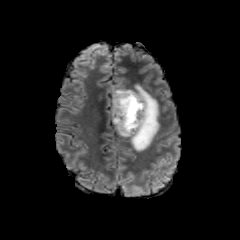
FLAIR MRI.
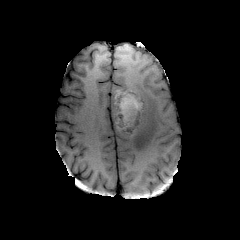
T1-weighted MR.
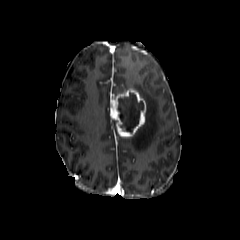
Post-contrast T1-weighted MR image.
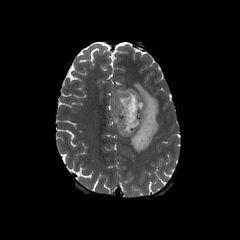
Same slice, T2-weighted magnetic resonance.
Image size 240x240; Axial view; Brain
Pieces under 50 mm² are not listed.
{
  "peritumoral_edema": [
    "rect(130, 84, 159, 151)",
    "rect(112, 88, 128, 95)"
  ],
  "necrotic_tumor_core": [
    "rect(118, 92, 143, 132)"
  ],
  "enhancing_tumor": [
    "rect(110, 89, 146, 137)"
  ]
}